FLAIR MRI.
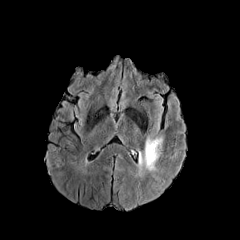
T1-weighted MRI.
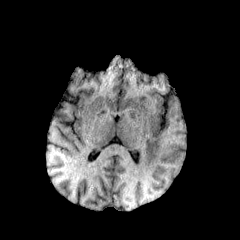
Post-contrast T1-weighted MR image.
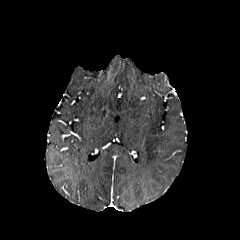
T2-weighted MRI.
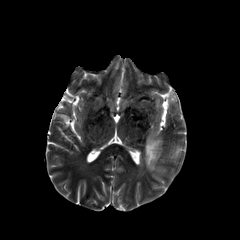
Brain
peritumoral edema at (left=144, top=136, right=162, bottom=170)